FLAIR magnetic resonance.
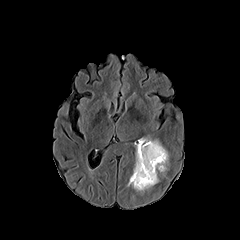
T1-weighted MR.
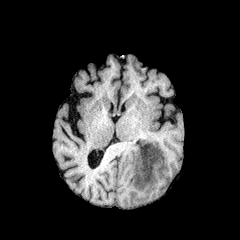
Post-contrast T1-weighted magnetic resonance.
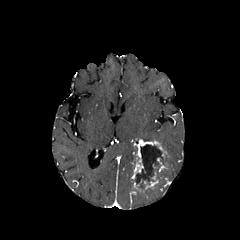
T2-weighted MR.
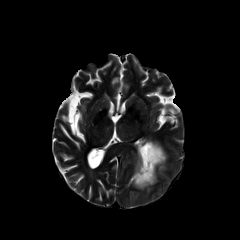
Head | Axial view
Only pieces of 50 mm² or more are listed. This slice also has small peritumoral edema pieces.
The 3 largest enhancing tumor regions appear at <box>131,139,166,190</box>, <box>157,158,167,172</box>, <box>140,171,158,189</box>. The largest necrotic tumor core region is bounded by <box>134,144,165,184</box>.